FLAIR magnetic resonance.
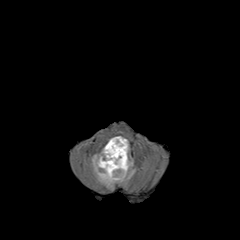
T1-weighted MR image.
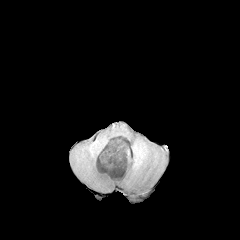
Post-contrast T1-weighted MR.
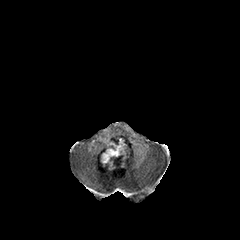
T2-weighted MR.
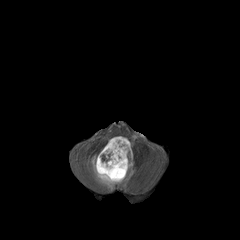
240x240 px, Brain
The peritumoral edema is at bbox=[91, 136, 135, 188]. The enhancing tumor lies within bbox=[98, 138, 126, 178]. The necrotic tumor core appears at bbox=[111, 155, 122, 166].